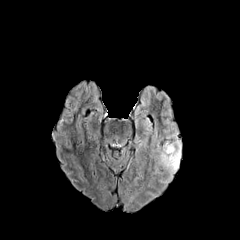
FLAIR magnetic resonance.
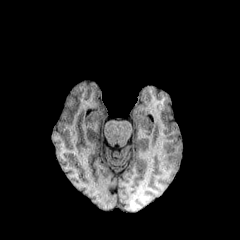
T1-weighted MRI of the same slice.
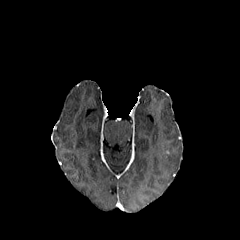
Post-contrast T1-weighted MRI.
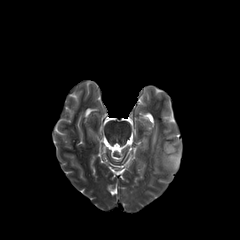
Same slice, T2-weighted magnetic resonance.
Brain
peritumoral edema — (157, 140, 181, 172)